240x240 px; Axial view; Brain; Slice 116/155
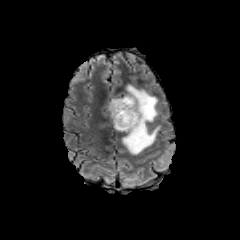
FLAIR magnetic resonance.
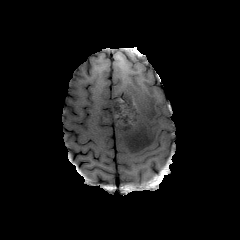
Same slice, T1-weighted MR.
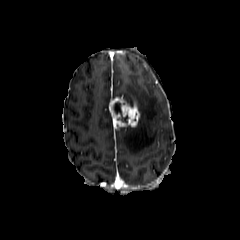
Post-contrast T1-weighted MR image.
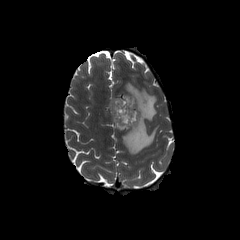
T2-weighted MRI of the same slice.
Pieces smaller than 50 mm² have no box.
The necrotic tumor core is bounded by left=114, top=102, right=127, bottom=122. The largest peritumoral edema region lies within left=116, top=84, right=159, bottom=154. The enhancing tumor is bounded by left=109, top=97, right=140, bottom=129.